240x240. Axial view. Head.
FLAIR MR image.
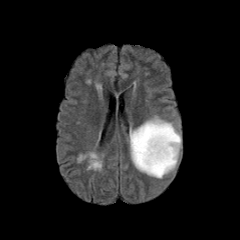
T1-weighted magnetic resonance.
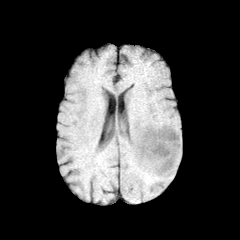
Post-contrast T1-weighted MR image.
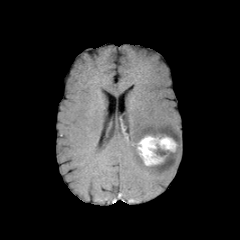
T2-weighted magnetic resonance.
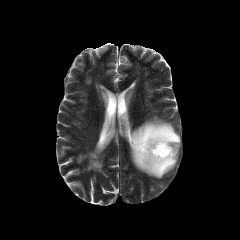
necrotic_tumor_core:
  - 156:148:168:156
enhancing_tumor:
  - 136:134:177:165
peritumoral_edema:
  - 129:116:181:178